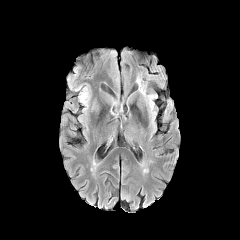
FLAIR MR.
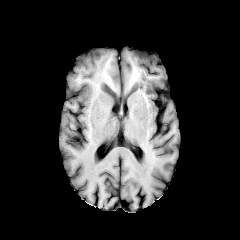
T1-weighted magnetic resonance.
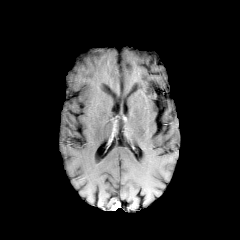
Post-contrast T1-weighted MRI of the same slice.
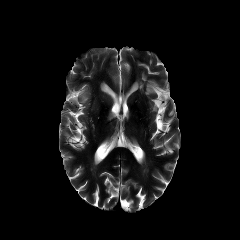
T2-weighted magnetic resonance.
Brain; Image size 240x240
peritumoral edema: {"x1": 80, "y1": 90, "x2": 87, "y2": 102}